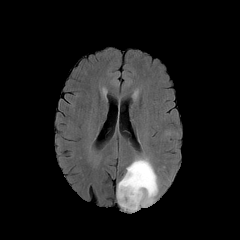
FLAIR MR.
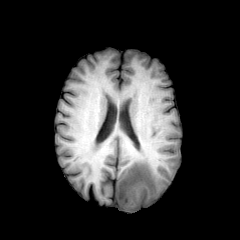
Same slice, T1-weighted MR.
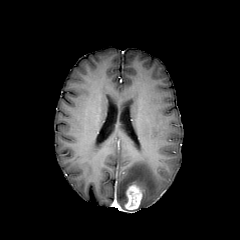
Same slice, post-contrast T1-weighted MR image.
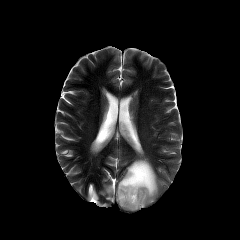
T2-weighted MR image.
Axial plane
<segmentation>
  <enhancing_tumor>x1=124 y1=184 x2=142 y2=208</enhancing_tumor>
  <peritumoral_edema>x1=117 y1=158 x2=158 y2=211</peritumoral_edema>
</segmentation>